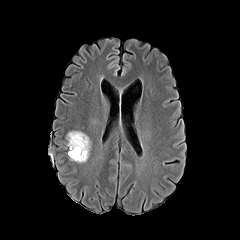
FLAIR magnetic resonance.
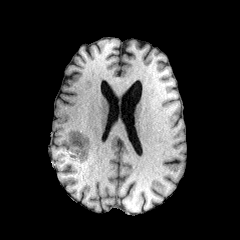
T1-weighted MRI of the same slice.
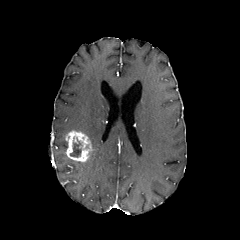
Post-contrast T1-weighted MR.
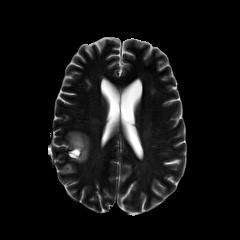
T2-weighted MRI of the same slice.
Axial view, Brain
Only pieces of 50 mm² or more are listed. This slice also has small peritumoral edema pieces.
The necrotic tumor core is located at <box>70,142,81,157</box>. The enhancing tumor appears at <box>65,131,91,161</box>.